Slice 100/155. Axial view.
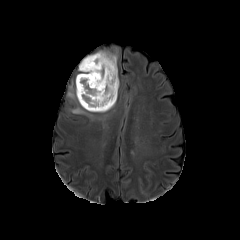
FLAIR magnetic resonance.
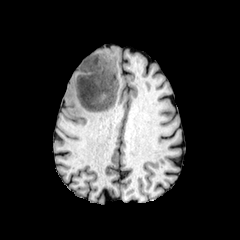
T1-weighted MR of the same slice.
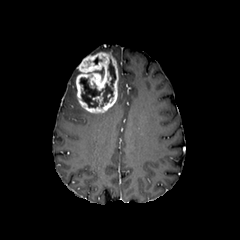
Post-contrast T1-weighted MR image.
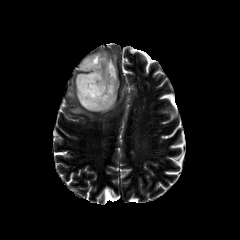
T2-weighted MR image of the same slice.
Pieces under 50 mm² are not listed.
The largest necrotic tumor core region is at 79:59:115:107. The 3 largest peritumoral edema regions are located at 70:106:94:119, 67:80:77:101, 97:50:117:61. The largest enhancing tumor region is bounded by 76:52:118:112.